Axial plane, Head, Image width 240 mm
FLAIR MR.
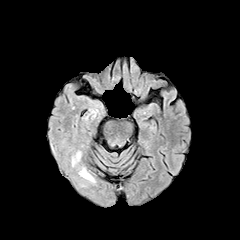
T1-weighted MRI.
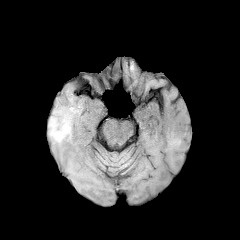
Post-contrast T1-weighted magnetic resonance.
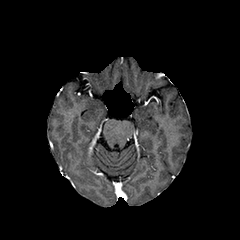
T2-weighted MRI.
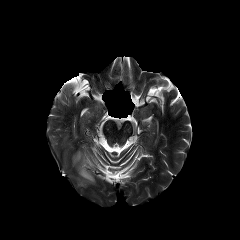
2 peritumoral edema regions are located at [79,168,94,181], [72,152,80,164].